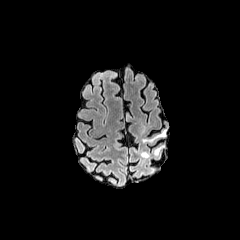
FLAIR MR.
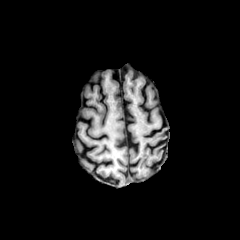
T1-weighted magnetic resonance of the same slice.
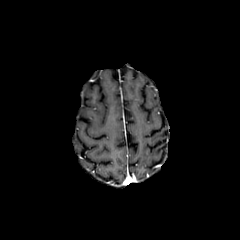
Post-contrast T1-weighted MR.
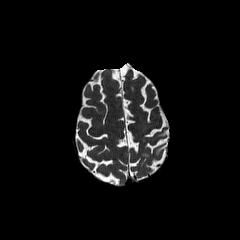
T2-weighted MR image.
Head, 240x240
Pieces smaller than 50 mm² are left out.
{"peritumoral_edema": ["x1=142 y1=130 x2=165 y2=142"]}